FLAIR magnetic resonance.
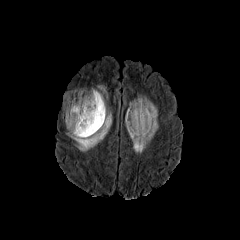
T1-weighted MRI.
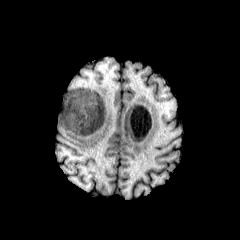
Post-contrast T1-weighted MR.
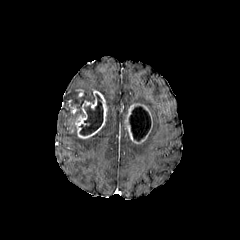
T2-weighted MRI.
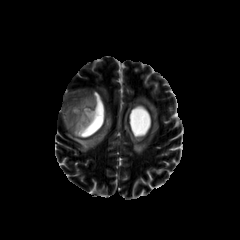
Brain.
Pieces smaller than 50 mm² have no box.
Annotated regions:
- enhancing tumor: <bbox>67, 89, 107, 138</bbox>, <bbox>124, 103, 152, 144</bbox>
- peritumoral edema: <bbox>67, 111, 111, 151</bbox>, <bbox>65, 104, 72, 127</bbox>, <bbox>129, 96, 158, 153</bbox>, <bbox>98, 86, 107, 98</bbox>
- necrotic tumor core: <bbox>71, 92, 94, 116</bbox>, <bbox>129, 106, 150, 141</bbox>, <bbox>80, 94, 103, 135</bbox>